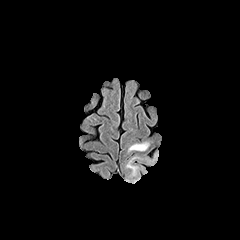
FLAIR magnetic resonance.
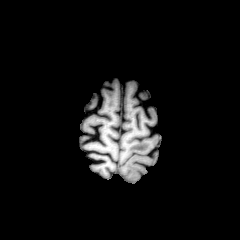
T1-weighted MR.
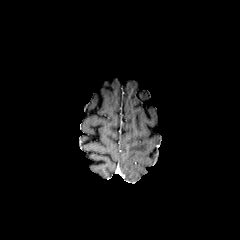
Post-contrast T1-weighted MR of the same slice.
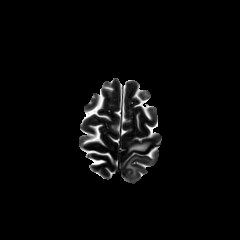
T2-weighted MR.
2 peritumoral edema regions are bounded by region(128, 142, 149, 151); region(126, 157, 137, 176).